Slice 73/155
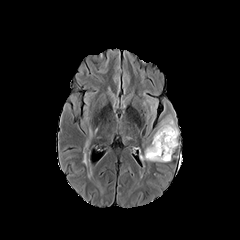
FLAIR MR.
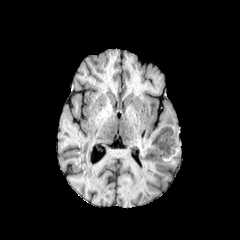
T1-weighted magnetic resonance.
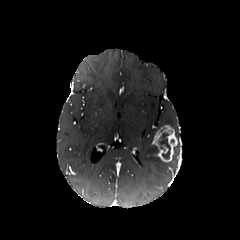
Post-contrast T1-weighted MRI.
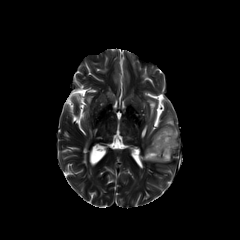
Same slice, T2-weighted MR.
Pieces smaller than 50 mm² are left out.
<segmentation>
  <necrotic_tumor_core>(159,130,170,159)</necrotic_tumor_core>
  <peritumoral_edema>(140,144,162,161), (160,116,178,137)</peritumoral_edema>
  <enhancing_tumor>(152,125,177,161)</enhancing_tumor>
</segmentation>